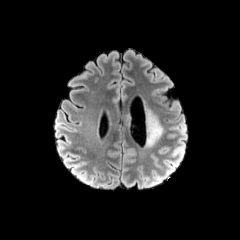
FLAIR MR image.
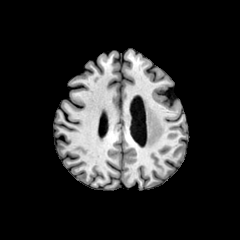
T1-weighted MRI of the same slice.
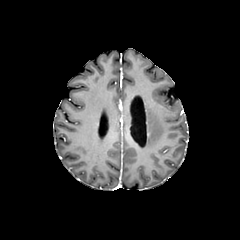
Same slice, post-contrast T1-weighted MR image.
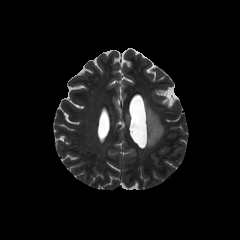
T2-weighted MR image of the same slice.
Brain; Axial slice
peritumoral edema: bounding box [145,109,163,147], [125,115,130,125]